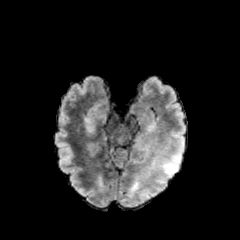
FLAIR MRI.
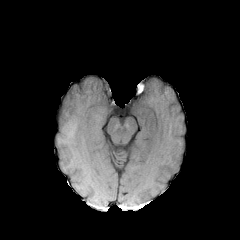
T1-weighted MR image.
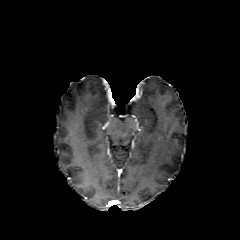
Same slice, post-contrast T1-weighted magnetic resonance.
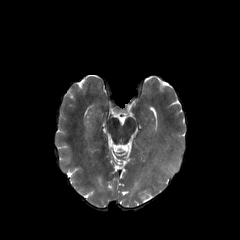
T2-weighted magnetic resonance of the same slice.
Brain; Axial plane
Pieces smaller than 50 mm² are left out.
Findings:
* peritumoral edema: (x1=165, y1=152, x2=181, y2=174)